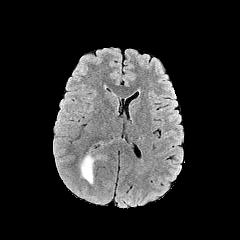
FLAIR magnetic resonance.
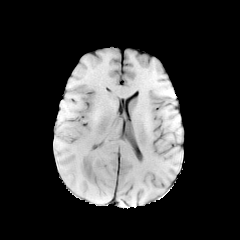
T1-weighted MRI.
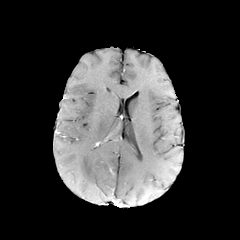
Post-contrast T1-weighted magnetic resonance of the same slice.
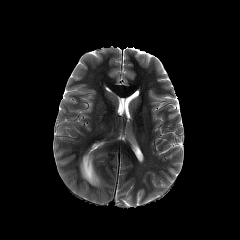
T2-weighted MRI.
Brain
{"peritumoral_edema": [{"x1": 79, "y1": 152, "x2": 102, "y2": 185}]}